Axial view. Slice index 60.
FLAIR MR image.
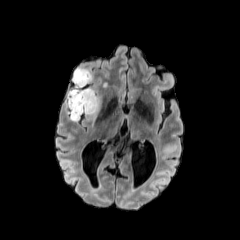
T1-weighted MR.
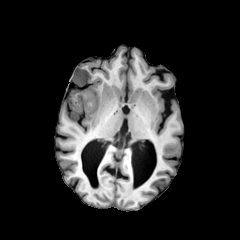
Post-contrast T1-weighted MR.
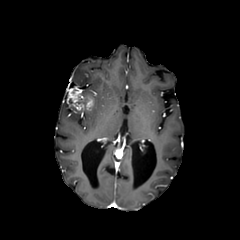
T2-weighted magnetic resonance.
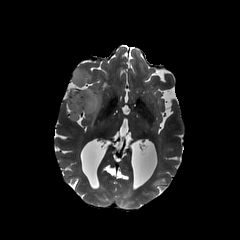
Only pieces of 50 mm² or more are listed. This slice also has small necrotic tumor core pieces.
The 3 largest peritumoral edema regions are located at 67, 96, 98, 120; 83, 88, 94, 93; 73, 68, 91, 88. The enhancing tumor is located at 67, 86, 96, 112.